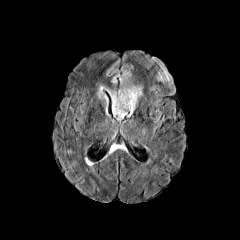
FLAIR MRI.
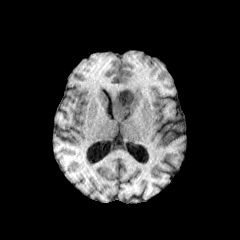
Same slice, T1-weighted MR image.
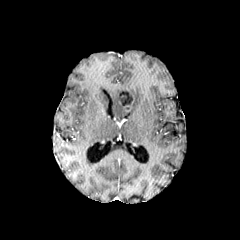
Post-contrast T1-weighted MR image.
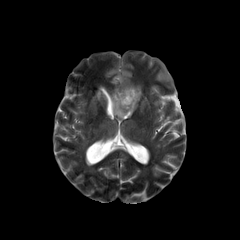
T2-weighted MR.
Head
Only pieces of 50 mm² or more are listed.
necrotic tumor core: 116:91:132:105 | peritumoral edema: 97:85:105:99, 107:89:127:121, 111:65:142:117 | enhancing tumor: 115:88:134:108